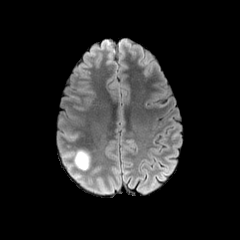
FLAIR MR image.
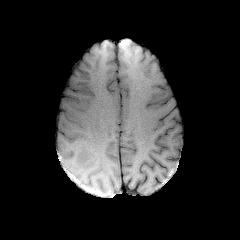
T1-weighted magnetic resonance of the same slice.
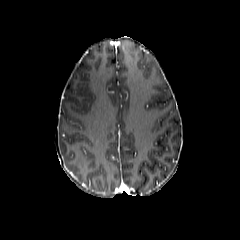
Post-contrast T1-weighted magnetic resonance of the same slice.
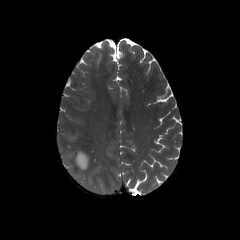
T2-weighted magnetic resonance of the same slice.
Axial view
Segmented structures:
- peritumoral edema: <box>74,150,89,170</box>